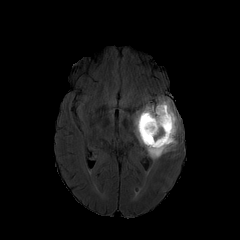
FLAIR magnetic resonance.
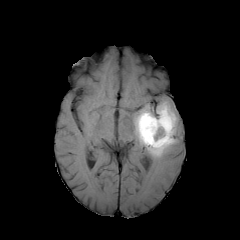
T1-weighted MRI of the same slice.
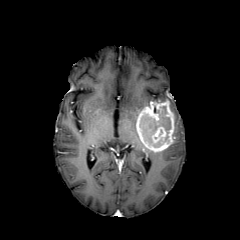
Post-contrast T1-weighted MR of the same slice.
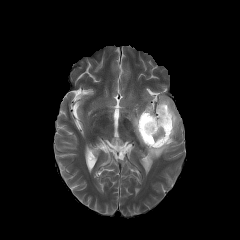
T2-weighted MR of the same slice.
Axial view
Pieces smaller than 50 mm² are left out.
• necrotic tumor core: region(140, 115, 157, 143); region(159, 106, 170, 131)
• peritumoral edema: region(145, 96, 180, 160); region(133, 102, 149, 146)
• enhancing tumor: region(142, 122, 153, 135); region(136, 100, 174, 152)